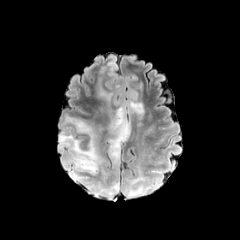
FLAIR magnetic resonance.
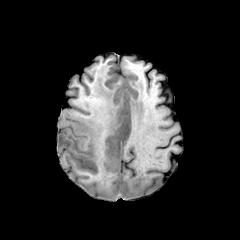
Same slice, T1-weighted MR.
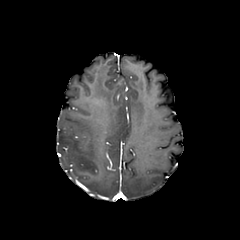
Same slice, post-contrast T1-weighted MR image.
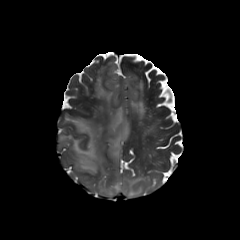
T2-weighted MR image.
Head; Image size 240x240
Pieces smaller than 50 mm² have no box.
peritumoral edema: 99:89:112:101, 108:98:144:166, 58:117:152:197